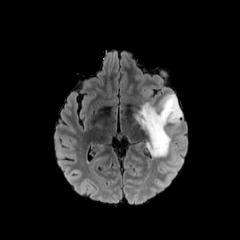
FLAIR magnetic resonance.
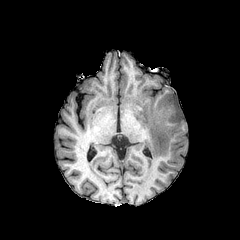
T1-weighted MR image of the same slice.
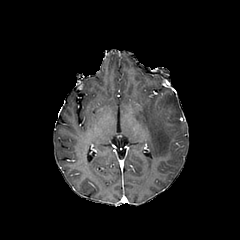
Post-contrast T1-weighted MR image of the same slice.
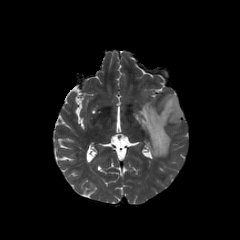
T2-weighted magnetic resonance.
Brain; Axial slice
peritumoral edema: bbox=[134, 93, 182, 157]
enhancing tumor: bbox=[165, 107, 172, 117]